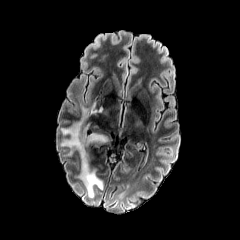
FLAIR MR image.
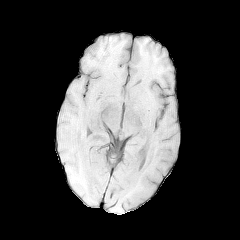
Same slice, T1-weighted magnetic resonance.
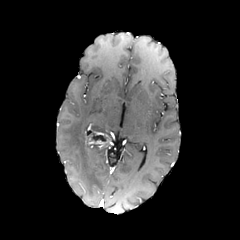
Same slice, post-contrast T1-weighted magnetic resonance.
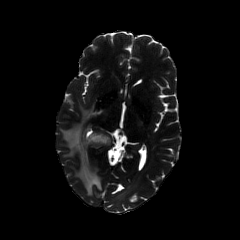
T2-weighted MRI.
Axial view
peritumoral edema at 61 103 102 195
necrotic tumor core at 92 133 105 141
enhancing tumor at 85 131 110 147